Slice index 85; Axial view
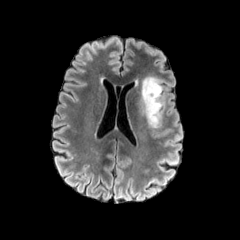
FLAIR magnetic resonance.
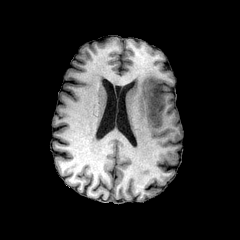
Same slice, T1-weighted magnetic resonance.
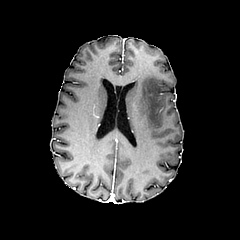
Post-contrast T1-weighted MR.
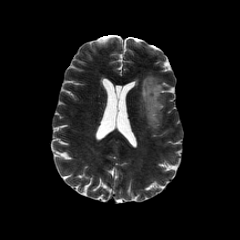
T2-weighted magnetic resonance.
peritumoral edema: bounding box 141,76,163,129